FLAIR magnetic resonance.
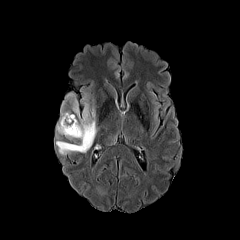
T1-weighted MR image.
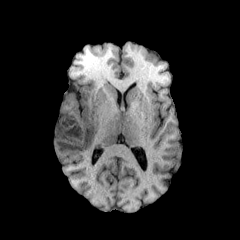
Post-contrast T1-weighted MRI.
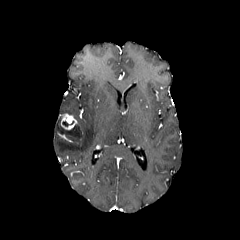
T2-weighted MRI.
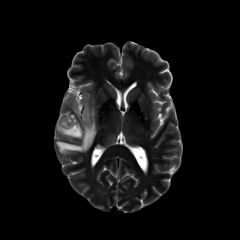
Axial slice
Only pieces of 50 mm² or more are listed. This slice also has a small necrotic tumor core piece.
Annotated regions:
- peritumoral edema: 55,93,97,154; 61,103,75,118
- enhancing tumor: 61,113,77,129